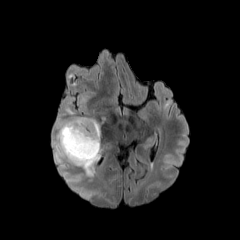
FLAIR magnetic resonance.
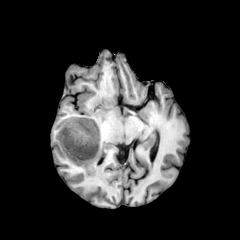
T1-weighted magnetic resonance.
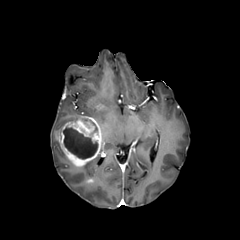
Post-contrast T1-weighted MR of the same slice.
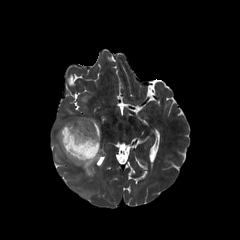
T2-weighted MR image.
Image size 240x240. Head.
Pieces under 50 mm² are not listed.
necrotic tumor core — {"x1": 63, "y1": 127, "x2": 97, "y2": 159}
enhancing tumor — {"x1": 55, "y1": 116, "x2": 102, "y2": 166}
peritumoral edema — {"x1": 82, "y1": 155, "x2": 99, "y2": 176}, {"x1": 53, "y1": 136, "x2": 70, "y2": 162}, {"x1": 57, "y1": 116, "x2": 79, "y2": 129}